FLAIR MR image.
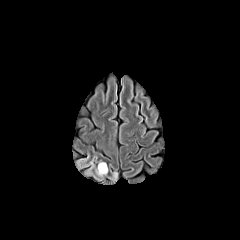
T1-weighted magnetic resonance.
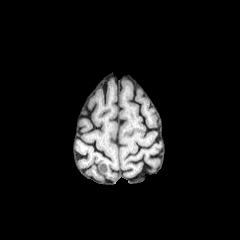
Post-contrast T1-weighted MR image.
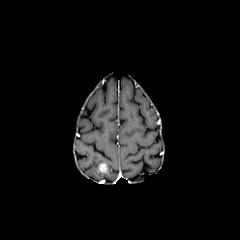
T2-weighted MR image.
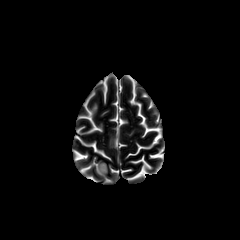
Image size 240x240, Axial view
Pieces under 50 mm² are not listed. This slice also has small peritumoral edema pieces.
{
  "enhancing_tumor": [
    "box(98, 163, 107, 172)"
  ]
}